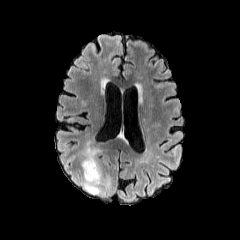
FLAIR MR image.
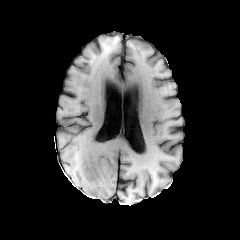
Same slice, T1-weighted magnetic resonance.
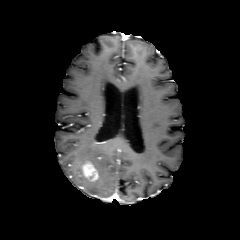
Post-contrast T1-weighted MR.
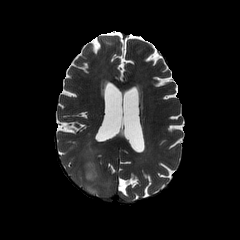
T2-weighted MRI.
Image size 240x240 | Brain
peritumoral edema: x1=72 y1=145 x2=110 y2=195 | enhancing tumor: x1=82 y1=161 x2=98 y2=181